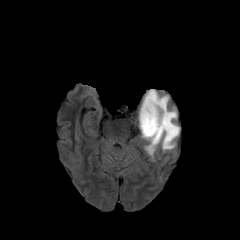
FLAIR MR image.
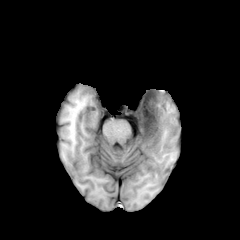
T1-weighted magnetic resonance.
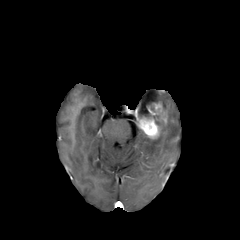
Post-contrast T1-weighted MR image.
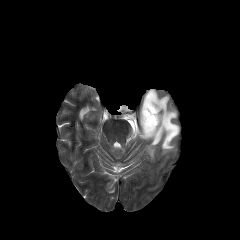
T2-weighted magnetic resonance of the same slice.
Axial view. Brain.
The enhancing tumor is bounded by l=137, t=102, r=167, b=139. The peritumoral edema lies within l=138, t=89, r=179, b=158.